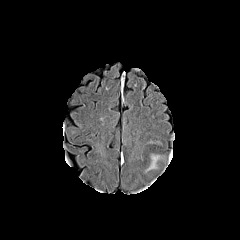
FLAIR MRI.
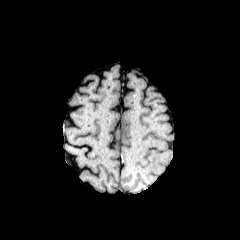
T1-weighted magnetic resonance.
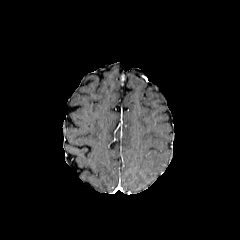
Post-contrast T1-weighted MRI of the same slice.
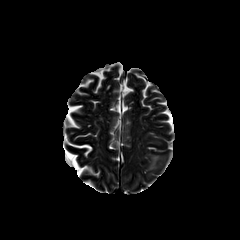
T2-weighted MRI.
240x240; Head
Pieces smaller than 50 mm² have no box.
The largest peritumoral edema region lies within 148:156:158:169.